240x240 px; Axial slice
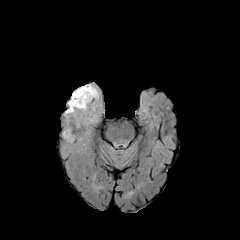
FLAIR magnetic resonance.
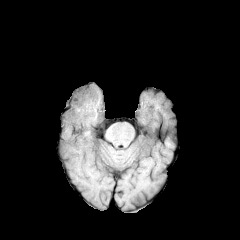
T1-weighted MRI of the same slice.
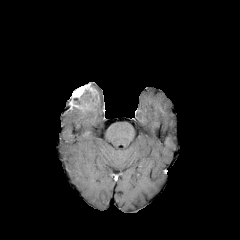
Post-contrast T1-weighted MRI of the same slice.
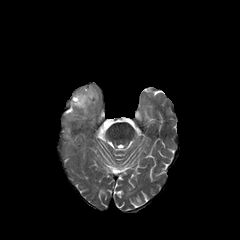
T2-weighted MR.
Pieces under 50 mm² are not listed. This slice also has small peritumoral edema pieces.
The largest necrotic tumor core region is bounded by l=84, t=91, r=91, b=100. The enhancing tumor appears at l=68, t=83, r=98, b=110.